Head.
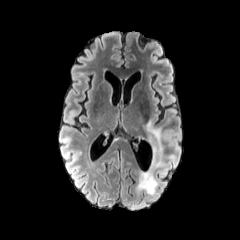
FLAIR MR image.
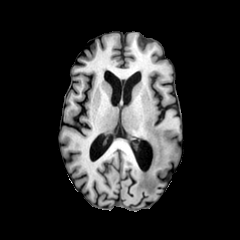
T1-weighted MRI.
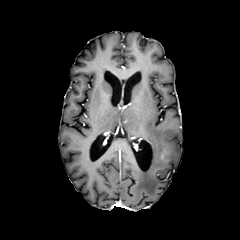
Post-contrast T1-weighted MR image of the same slice.
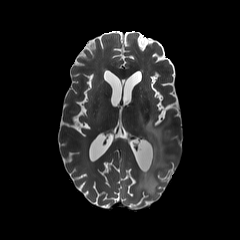
T2-weighted MR image.
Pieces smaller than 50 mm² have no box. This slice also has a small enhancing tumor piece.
Findings:
- peritumoral edema: 137:120:163:194